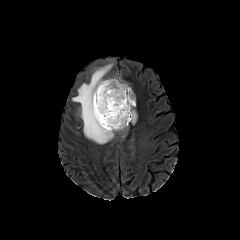
FLAIR magnetic resonance.
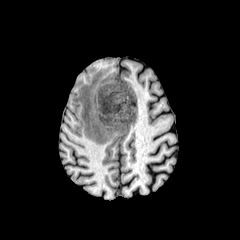
T1-weighted magnetic resonance.
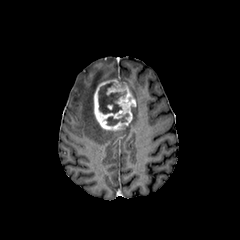
Post-contrast T1-weighted MR image of the same slice.
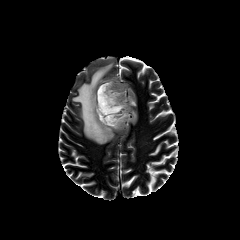
Same slice, T2-weighted MRI.
Brain
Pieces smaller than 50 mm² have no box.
2 necrotic tumor core regions are located at x1=107, y1=114, x2=128, y2=125; x1=98, y1=82, x2=125, y2=113. The largest enhancing tumor region is bounded by x1=94, y1=79, x2=135, y2=130. The 2 largest peritumoral edema regions appear at x1=72, y1=63, x2=116, y2=144; x1=131, y1=108, x2=136, y2=123.